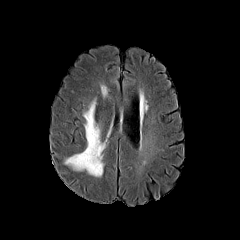
FLAIR magnetic resonance.
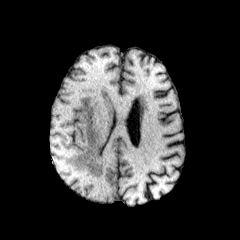
T1-weighted MRI of the same slice.
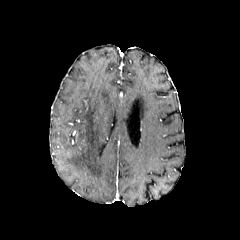
Same slice, post-contrast T1-weighted magnetic resonance.
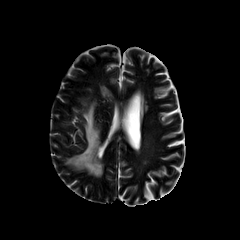
T2-weighted magnetic resonance.
240x240
The peritumoral edema is located at box=[65, 101, 105, 176].